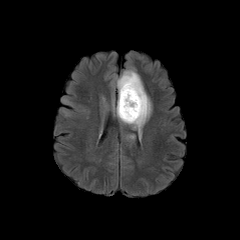
FLAIR MR.
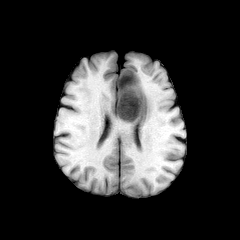
T1-weighted magnetic resonance.
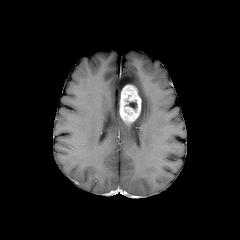
Post-contrast T1-weighted MR.
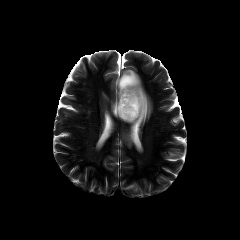
Same slice, T2-weighted magnetic resonance.
Image size 240x240, Axial view
peritumoral edema: [x1=126, y1=134, x2=134, y2=141], [x1=116, y1=69, x2=151, y2=138]
necrotic tumor core: [x1=126, y1=102, x2=136, y2=109]
enhancing tumor: [x1=119, y1=84, x2=141, y2=123]